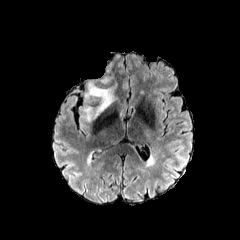
FLAIR MR.
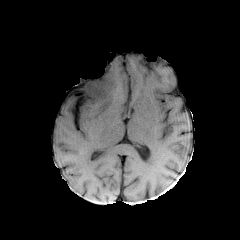
T1-weighted MR image.
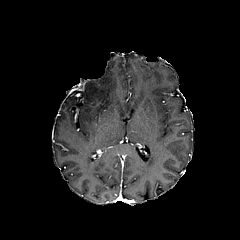
Post-contrast T1-weighted MR of the same slice.
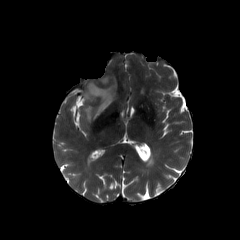
Same slice, T2-weighted MR.
Brain; Image size 240x240
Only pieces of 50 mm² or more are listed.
The 2 largest peritumoral edema regions are bounded by 100,76,113,83; 81,82,115,121.